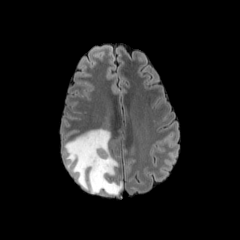
FLAIR MRI.
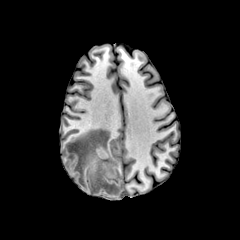
T1-weighted MR image.
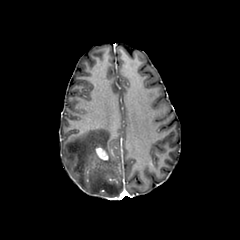
Post-contrast T1-weighted MR.
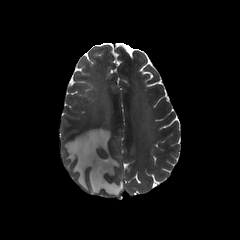
Same slice, T2-weighted MRI.
Head; 240x240
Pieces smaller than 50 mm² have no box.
The enhancing tumor lies within left=95, top=147, right=108, bottom=160. The largest peritumoral edema region is bounded by left=64, top=128, right=122, bottom=195.